Axial slice
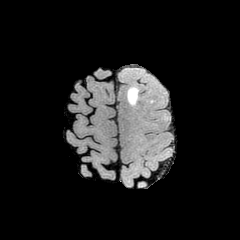
FLAIR MRI.
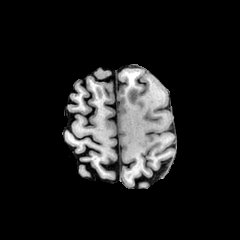
T1-weighted MRI.
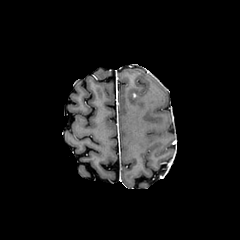
Post-contrast T1-weighted MR.
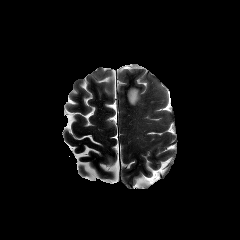
T2-weighted MR.
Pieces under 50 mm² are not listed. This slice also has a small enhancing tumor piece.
* peritumoral edema: rect(127, 87, 139, 105)